FLAIR MR image.
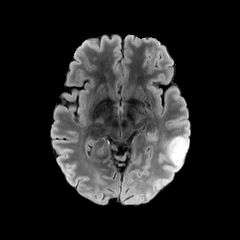
T1-weighted MR.
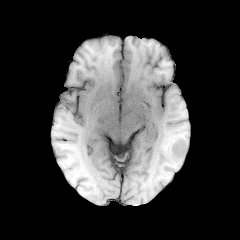
Post-contrast T1-weighted magnetic resonance.
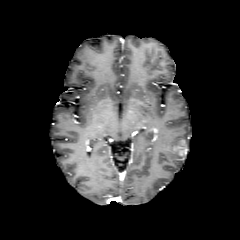
T2-weighted MRI.
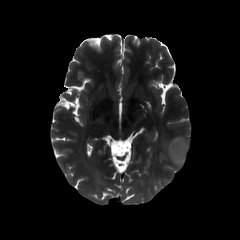
Head | Axial plane
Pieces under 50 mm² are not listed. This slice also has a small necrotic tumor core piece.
- peritumoral edema: rect(158, 131, 189, 184)
- enhancing tumor: rect(171, 138, 187, 156)